240x240 px
FLAIR MR image.
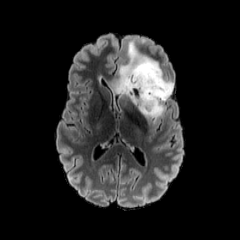
T1-weighted MR image.
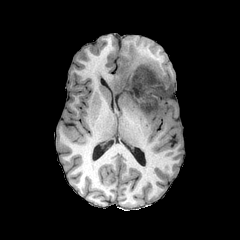
Post-contrast T1-weighted MR.
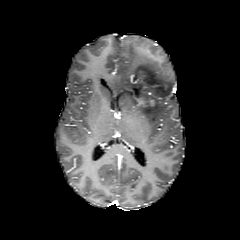
T2-weighted MRI.
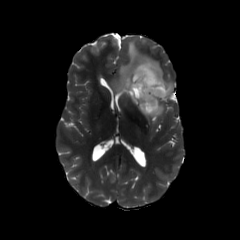
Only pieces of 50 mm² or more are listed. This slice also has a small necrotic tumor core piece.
peritumoral edema at x1=112, y1=40, x2=173, y2=123
enhancing tumor at x1=133, y1=96, x2=156, y2=107; x1=129, y1=73, x2=144, y2=83